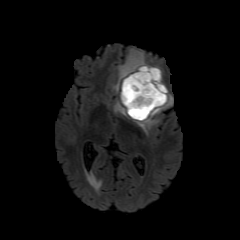
FLAIR magnetic resonance.
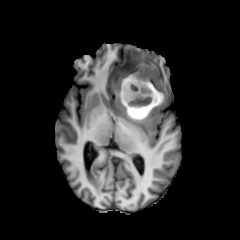
T1-weighted MR image.
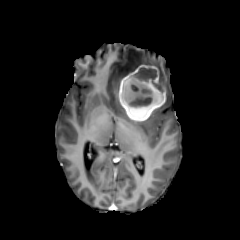
Post-contrast T1-weighted MRI.
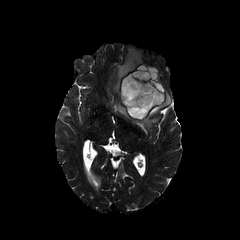
Same slice, T2-weighted MR image.
Axial slice | Brain
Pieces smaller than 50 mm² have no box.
The enhancing tumor is located at (119, 65, 165, 120). The necrotic tumor core appears at (122, 67, 164, 117). The 3 largest peritumoral edema regions appear at (113, 48, 146, 95), (134, 84, 172, 134), (113, 101, 128, 117).